Slice index 98
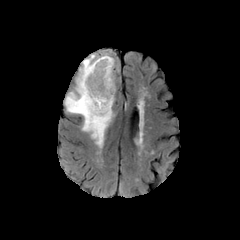
FLAIR MRI.
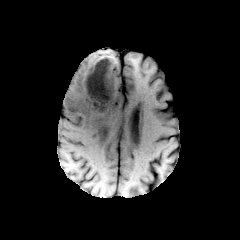
Same slice, T1-weighted magnetic resonance.
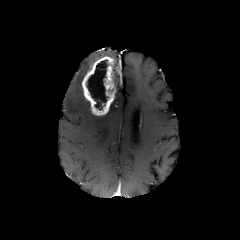
Same slice, post-contrast T1-weighted magnetic resonance.
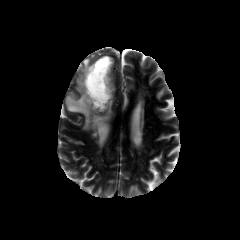
T2-weighted MRI of the same slice.
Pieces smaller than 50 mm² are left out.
The largest peritumoral edema region lies within {"x1": 64, "y1": 51, "x2": 118, "y2": 148}. The necrotic tumor core is at {"x1": 87, "y1": 60, "x2": 107, "y2": 109}. The enhancing tumor is at {"x1": 81, "y1": 56, "x2": 119, "y2": 115}.